FLAIR MRI.
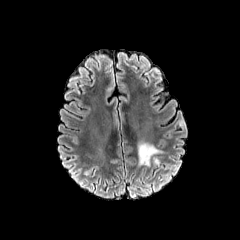
T1-weighted MR image.
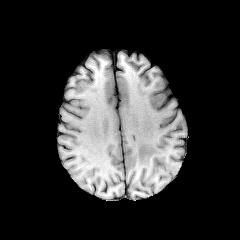
Post-contrast T1-weighted MR image.
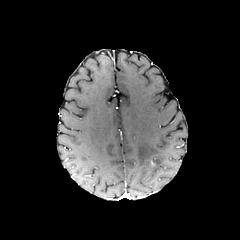
T2-weighted MRI.
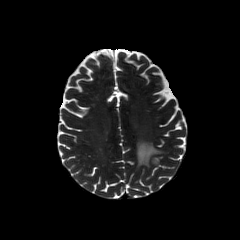
Brain
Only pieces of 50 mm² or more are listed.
peritumoral edema at box(138, 142, 161, 165)